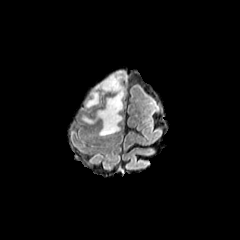
FLAIR magnetic resonance.
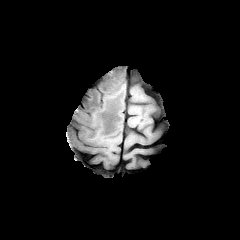
T1-weighted MR image.
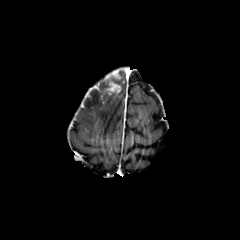
Post-contrast T1-weighted MRI of the same slice.
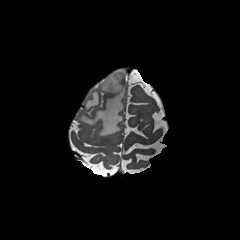
T2-weighted MRI.
240x240, Brain
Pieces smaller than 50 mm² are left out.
enhancing tumor: {"x1": 93, "y1": 70, "x2": 121, "y2": 98}
necrotic tumor core: {"x1": 100, "y1": 82, "x2": 110, "y2": 90}
peritumoral edema: {"x1": 81, "y1": 70, "x2": 126, "y2": 135}, {"x1": 85, "y1": 89, "x2": 101, "y2": 109}